Image width 240 mm, 1.00 mm slice spacing. Axial view.
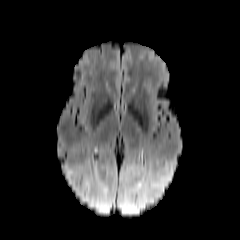
FLAIR magnetic resonance.
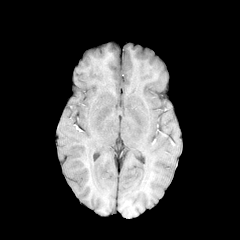
T1-weighted MR of the same slice.
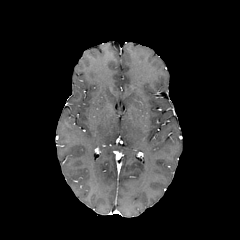
Same slice, post-contrast T1-weighted MR.
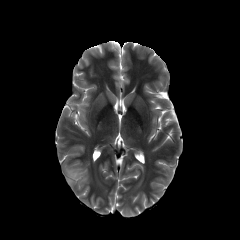
Same slice, T2-weighted magnetic resonance.
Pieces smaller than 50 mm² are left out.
Annotated regions:
• peritumoral edema: {"x1": 66, "y1": 167, "x2": 78, "y2": 185}